FLAIR magnetic resonance.
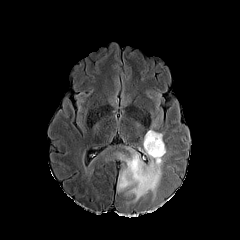
T1-weighted magnetic resonance.
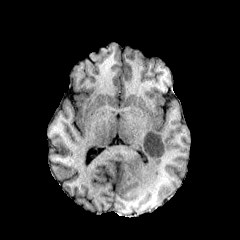
Post-contrast T1-weighted MRI.
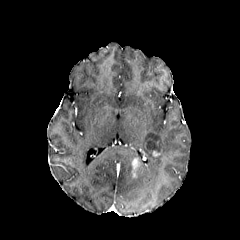
T2-weighted magnetic resonance.
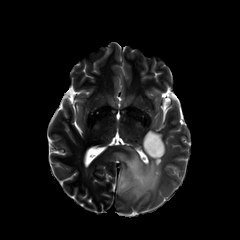
Brain; Axial slice
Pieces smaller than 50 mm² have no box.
The largest necrotic tumor core region lies within 146, 137, 162, 154. The largest enhancing tumor region is at 131, 157, 140, 177. The peritumoral edema is bounded by 116, 129, 165, 201.